240x240 px; Slice index 58; Head; Axial view
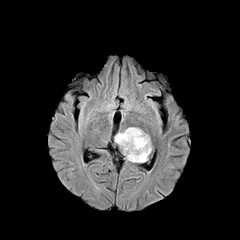
FLAIR MR.
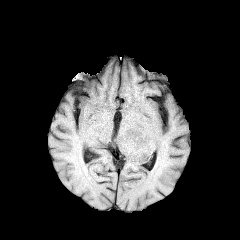
T1-weighted MRI.
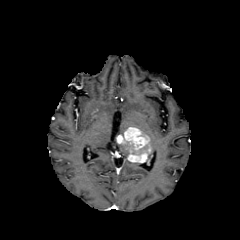
Same slice, post-contrast T1-weighted MRI.
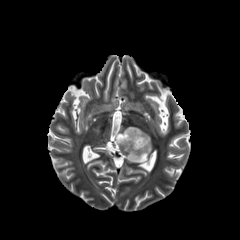
Same slice, T2-weighted MRI.
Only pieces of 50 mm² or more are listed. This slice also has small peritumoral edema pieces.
enhancing tumor: l=116, t=127, r=151, b=162